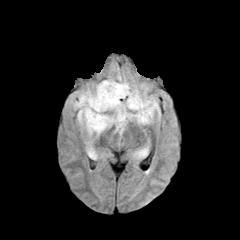
FLAIR MR.
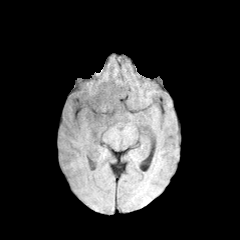
Same slice, T1-weighted MR image.
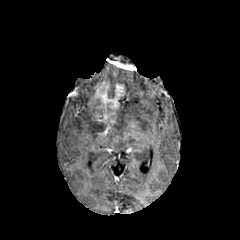
Same slice, post-contrast T1-weighted MR image.
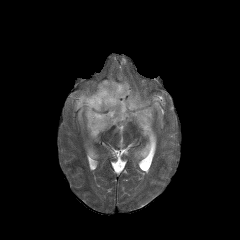
T2-weighted MR.
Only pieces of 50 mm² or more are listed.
enhancing tumor — (x1=88, y1=81, x2=125, y2=124)
necrotic tumor core — (x1=108, y1=85, x2=114, y2=97)
peritumoral edema — (x1=87, y1=146, x2=97, y2=159), (x1=71, y1=73, x2=159, y2=137), (x1=134, y1=148, x2=146, y2=158)